FLAIR MR.
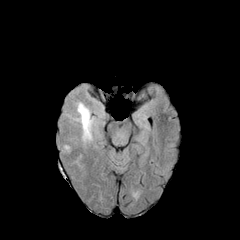
T1-weighted MR.
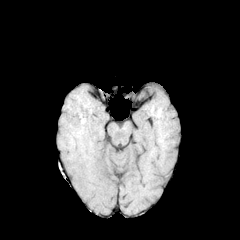
Post-contrast T1-weighted MRI.
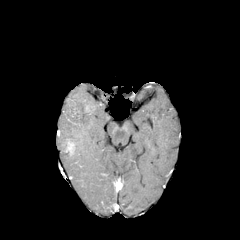
T2-weighted MRI.
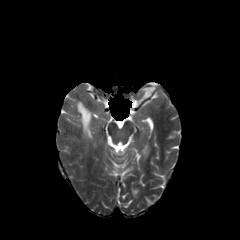
240x240, Axial view
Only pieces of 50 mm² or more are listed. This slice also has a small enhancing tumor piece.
The largest peritumoral edema region appears at region(73, 101, 93, 141).